Slice index 128, Head, Axial slice
FLAIR magnetic resonance.
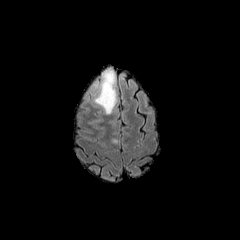
T1-weighted magnetic resonance.
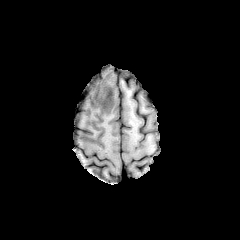
Post-contrast T1-weighted MRI.
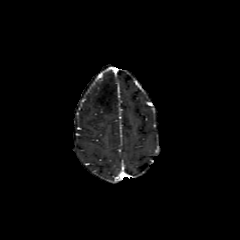
T2-weighted magnetic resonance.
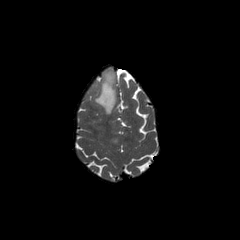
The peritumoral edema is at region(92, 69, 116, 114).